Image width 240 mm, 1.00 mm slice spacing; 240x240; Axial view; Slice 105 of 155; Brain
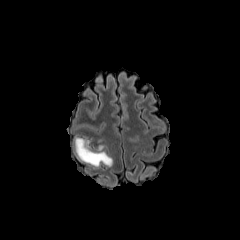
FLAIR MR image.
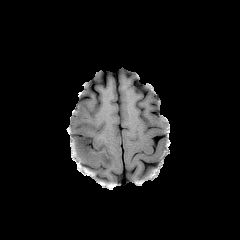
Same slice, T1-weighted MR.
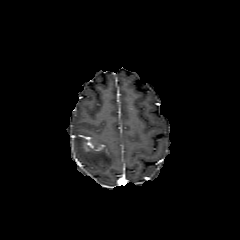
Post-contrast T1-weighted MRI of the same slice.
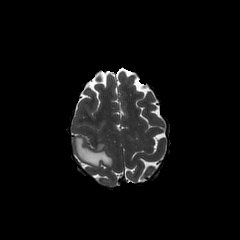
T2-weighted MR.
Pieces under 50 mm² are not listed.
{
  "enhancing_tumor": [
    "84:137:104:152"
  ],
  "peritumoral_edema": [
    "74:136:113:167"
  ]
}